Head
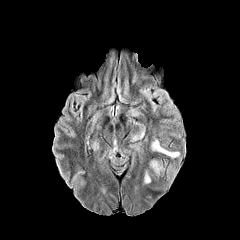
FLAIR MR image.
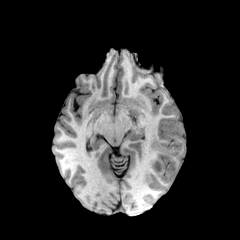
T1-weighted magnetic resonance.
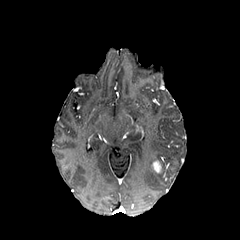
Post-contrast T1-weighted MRI.
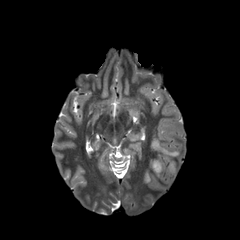
T2-weighted MR of the same slice.
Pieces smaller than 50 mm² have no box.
Annotated regions:
• peritumoral edema: box=[151, 139, 179, 157]; box=[144, 171, 150, 183]
• enhancing tumor: box=[152, 160, 162, 173]